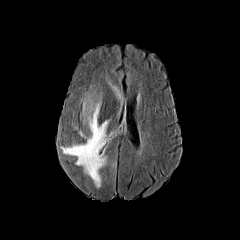
FLAIR MR.
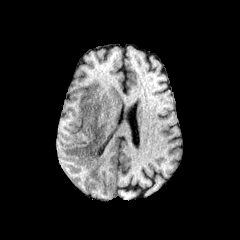
Same slice, T1-weighted MR image.
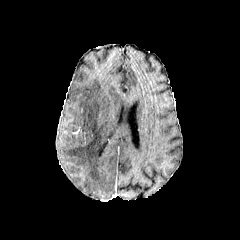
Post-contrast T1-weighted magnetic resonance.
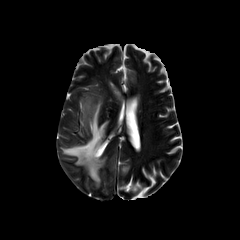
T2-weighted MRI.
Axial view.
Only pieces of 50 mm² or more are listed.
The 2 largest peritumoral edema regions are bounded by 60,92,108,188; 109,82,123,105.